FLAIR magnetic resonance.
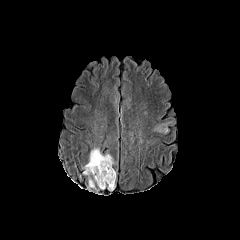
T1-weighted MRI.
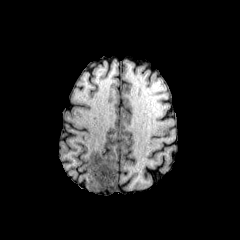
Post-contrast T1-weighted MR.
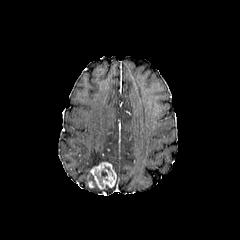
T2-weighted MR.
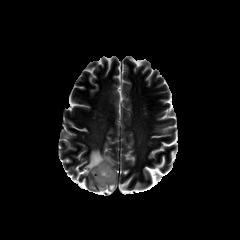
Head; Axial plane
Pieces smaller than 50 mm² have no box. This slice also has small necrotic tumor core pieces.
Annotated regions:
• peritumoral edema: (152,120,170,134), (83,148,114,181)
• enhancing tumor: (88,162,116,189)